Head. Axial plane.
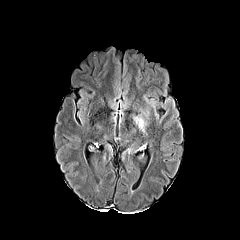
FLAIR magnetic resonance.
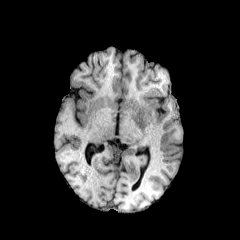
Same slice, T1-weighted MR.
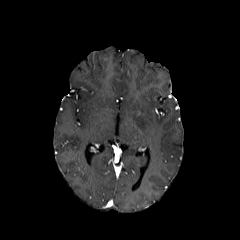
Post-contrast T1-weighted MRI.
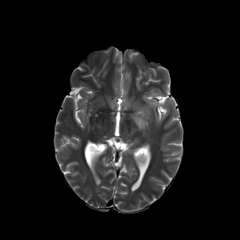
T2-weighted MRI.
peritumoral_edema:
  - x1=134, y1=109, x2=149, y2=131